FLAIR magnetic resonance.
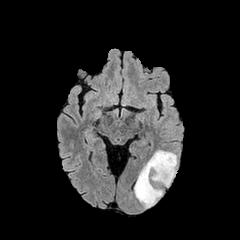
T1-weighted MRI.
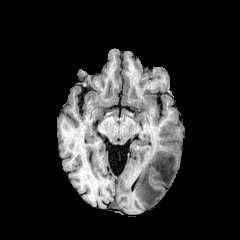
Post-contrast T1-weighted MR image.
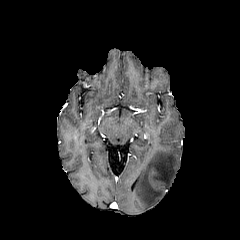
T2-weighted MR image.
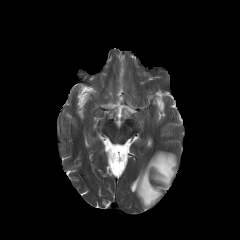
Head; Axial plane
Findings:
• peritumoral edema: (left=134, top=150, right=177, bottom=207)